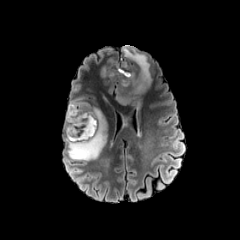
FLAIR MRI.
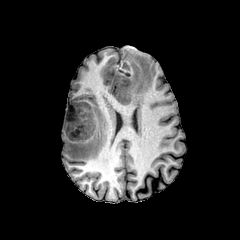
Same slice, T1-weighted MR image.
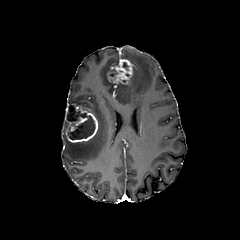
Post-contrast T1-weighted MR.
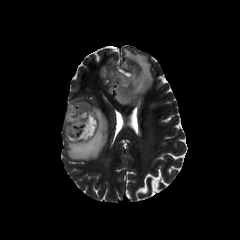
Same slice, T2-weighted magnetic resonance.
Brain
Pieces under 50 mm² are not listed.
peritumoral edema: bounding box (116,45,152,108), (101,67,108,77), (65,99,107,160)
enhancing tumor: bounding box (107,59,133,85), (65,104,98,142)
necrotic tumor core: bounding box (67,105,94,139)